Slice 123/155; Axial slice
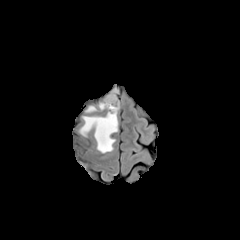
FLAIR MRI.
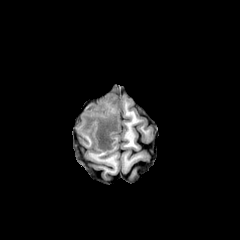
T1-weighted MRI.
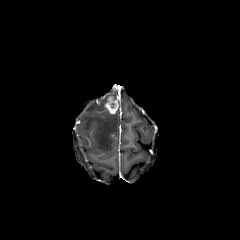
Post-contrast T1-weighted magnetic resonance.
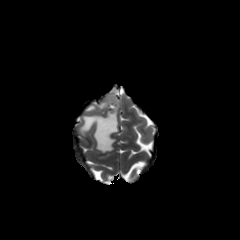
T2-weighted MR of the same slice.
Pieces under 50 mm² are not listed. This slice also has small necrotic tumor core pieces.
• enhancing tumor: 105,95,118,114
• peritumoral edema: 86,105,95,112; 98,100,106,109; 80,110,117,153